Image width 240 mm, 1.00 mm slice spacing, Brain
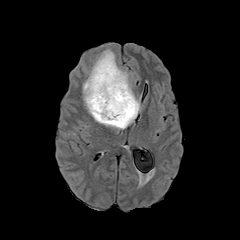
FLAIR MR.
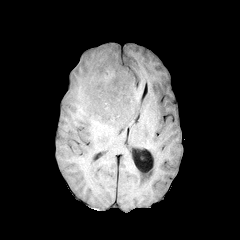
Same slice, T1-weighted MR.
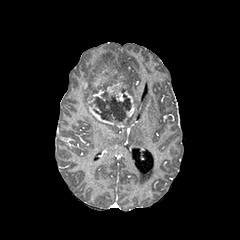
Post-contrast T1-weighted magnetic resonance.
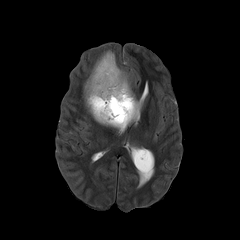
T2-weighted MR image.
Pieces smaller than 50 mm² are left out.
peritumoral edema at <bbox>82, 49, 140, 129</bbox>
necrotic tumor core at <bbox>93, 90, 131, 121</bbox>
enhancing tumor at <bbox>89, 64, 135, 127</bbox>